FLAIR MRI.
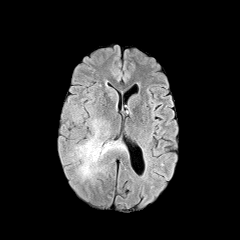
T1-weighted MR.
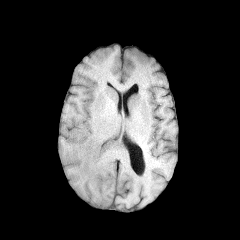
Post-contrast T1-weighted MRI.
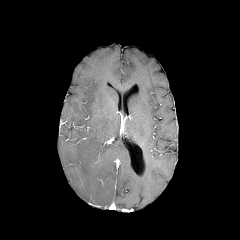
T2-weighted MR image.
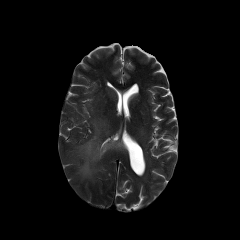
Axial plane | Image size 240x240
Findings:
- peritumoral edema: x1=74 y1=118 x2=125 y2=180